FLAIR MR image.
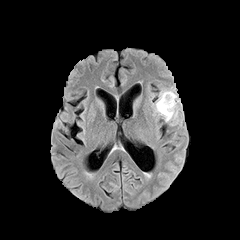
T1-weighted MR image.
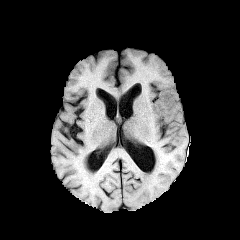
Post-contrast T1-weighted MR.
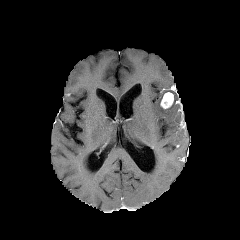
T2-weighted magnetic resonance.
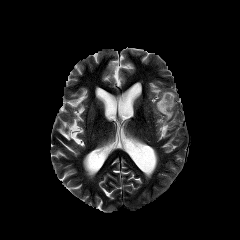
240x240 px | Axial plane
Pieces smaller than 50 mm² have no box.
enhancing tumor: bounding box <box>160,86,180,108</box>
peritumoral edema: bounding box <box>154,90,178,122</box>